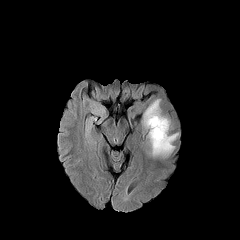
FLAIR MRI.
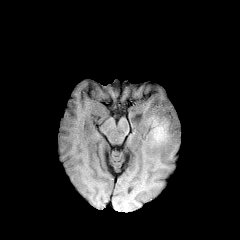
T1-weighted MR image.
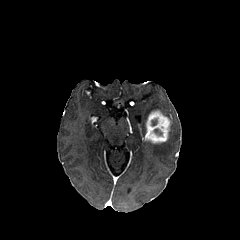
Post-contrast T1-weighted MR image of the same slice.
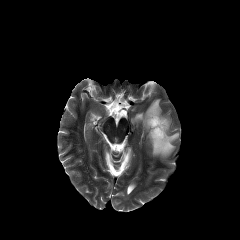
T2-weighted MR image.
Axial view
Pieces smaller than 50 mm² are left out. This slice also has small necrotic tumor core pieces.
peritumoral edema: bounding box box=[142, 99, 161, 133]; box=[147, 132, 178, 157]
enhancing tumor: bounding box box=[145, 110, 171, 143]